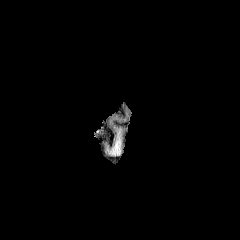
FLAIR MR.
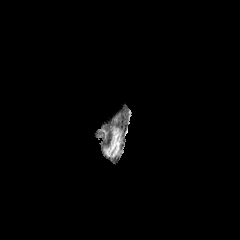
T1-weighted MR image.
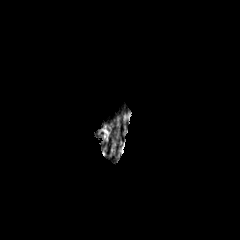
Post-contrast T1-weighted MRI.
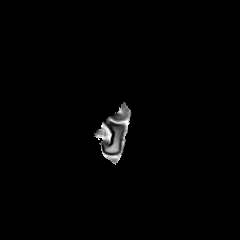
T2-weighted magnetic resonance of the same slice.
Head.
peritumoral edema = [x1=106, y1=141, x2=122, y2=153]